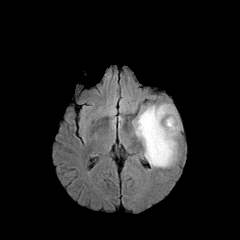
FLAIR MR.
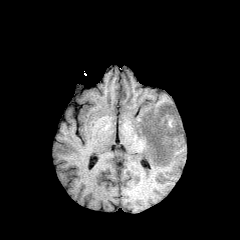
T1-weighted MR of the same slice.
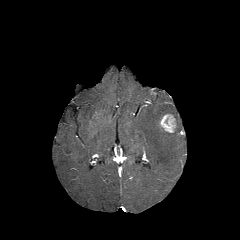
Post-contrast T1-weighted MRI.
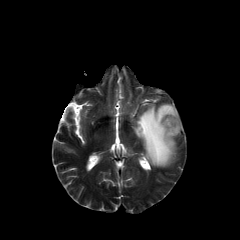
Same slice, T2-weighted MR image.
Head | Axial plane
The enhancing tumor lies within (x1=159, y1=113, x2=177, y2=132). The peritumoral edema is located at (x1=133, y1=103, x2=181, y2=167).